FLAIR MR image.
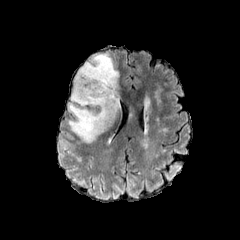
T1-weighted MR image.
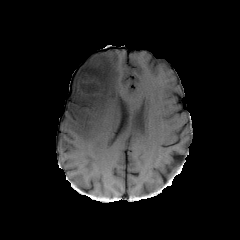
Post-contrast T1-weighted MR image.
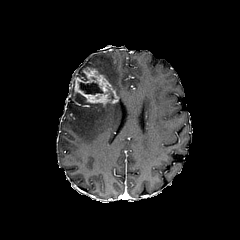
T2-weighted MRI.
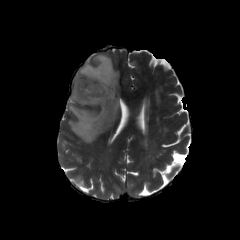
Image size 240x240, Head
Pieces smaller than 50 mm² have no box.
{
  "enhancing_tumor": [
    "<box>74,67,118,105</box>"
  ],
  "peritumoral_edema": [
    "<box>67,53,120,142</box>"
  ],
  "necrotic_tumor_core": [
    "<box>78,82,102,94</box>"
  ]
}